Brain.
FLAIR MRI.
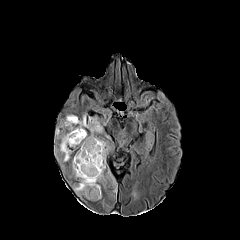
T1-weighted MR image.
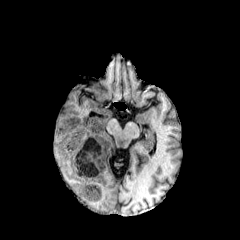
Post-contrast T1-weighted MR image.
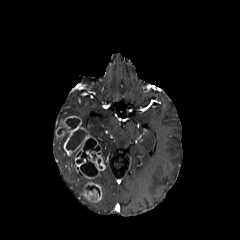
T2-weighted MRI.
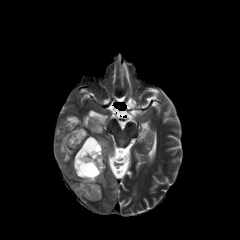
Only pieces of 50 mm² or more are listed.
The 5 largest peritumoral edema regions appear at [108,170,117,193], [96,138,109,164], [81,115,105,136], [59,133,68,153], [72,157,105,195]. The 4 largest necrotic tumor core regions appear at [85,185,99,195], [76,138,100,176], [65,118,78,129], [66,129,86,150]. 2 enhancing tumor regions are bounded by [80,182,101,201], [56,116,105,179].